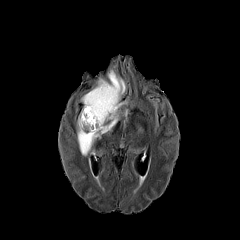
FLAIR MRI.
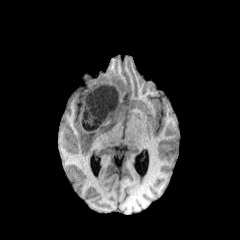
T1-weighted magnetic resonance of the same slice.
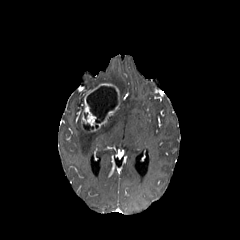
Post-contrast T1-weighted magnetic resonance.
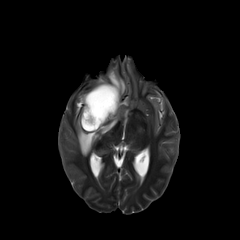
Same slice, T2-weighted MRI.
Brain | Axial slice | Image size 240x240
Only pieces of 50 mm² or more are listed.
necrotic tumor core at x1=86, y1=86, x2=118, y2=128; x1=82, y1=122, x2=93, y2=130
peritumoral edema at x1=107, y1=69, x2=126, y2=99; x1=77, y1=108, x2=121, y2=155; x1=96, y1=77, x2=107, y2=85
enhancing tumor at x1=81, y1=83, x2=120, y2=132